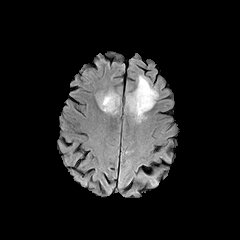
FLAIR MRI.
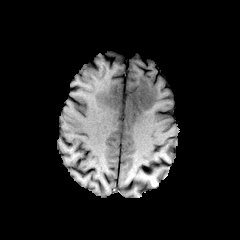
T1-weighted magnetic resonance.
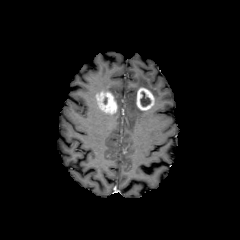
Post-contrast T1-weighted magnetic resonance of the same slice.
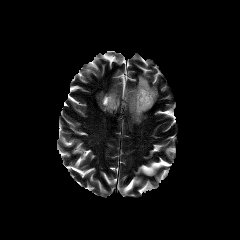
T2-weighted MR.
Head
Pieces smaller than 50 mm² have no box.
The largest necrotic tumor core region is bounded by 140 92 150 106. 2 peritumoral edema regions are bounded by 107 90 120 109, 125 75 158 123. 2 enhancing tumor regions appear at 136 87 154 110, 96 91 117 114.